FLAIR MR image.
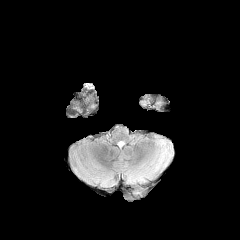
T1-weighted MR.
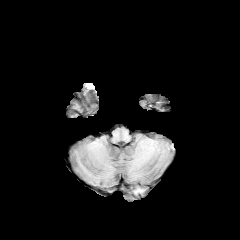
Post-contrast T1-weighted MR.
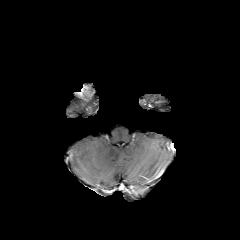
T2-weighted MRI.
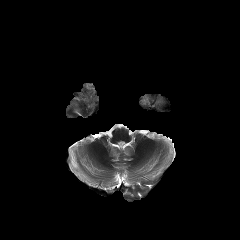
Axial view
<segmentation>
  <peritumoral_edema>(141, 94, 169, 110)</peritumoral_edema>
</segmentation>